Axial plane; Brain
FLAIR MR image.
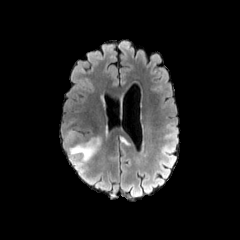
T1-weighted MRI.
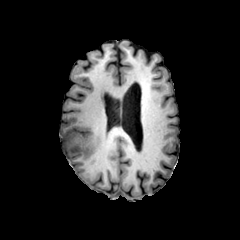
Post-contrast T1-weighted magnetic resonance.
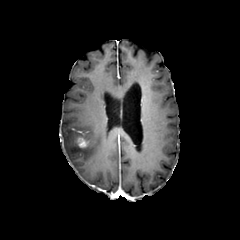
T2-weighted MR.
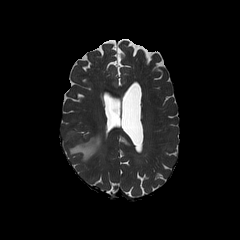
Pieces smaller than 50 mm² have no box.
The 2 largest peritumoral edema regions are located at 64, 130, 75, 139; 68, 125, 108, 161. The enhancing tumor is bounded by 77, 137, 88, 148.